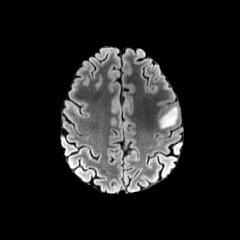
FLAIR MR image.
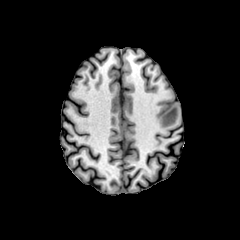
T1-weighted magnetic resonance.
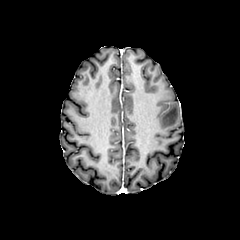
Post-contrast T1-weighted magnetic resonance.
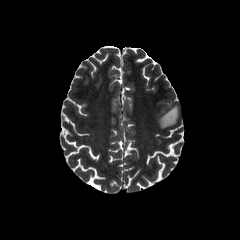
Same slice, T2-weighted MRI.
Brain | Image size 240x240 | Axial view
peritumoral edema — bbox=[159, 106, 178, 128]